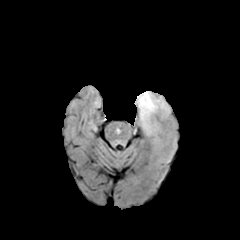
FLAIR MRI.
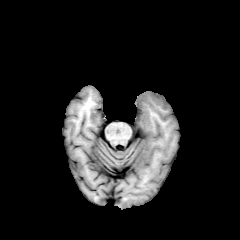
T1-weighted magnetic resonance of the same slice.
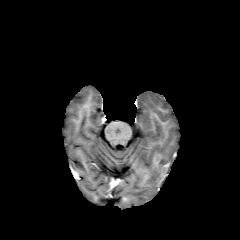
Post-contrast T1-weighted MRI.
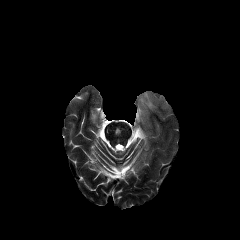
T2-weighted magnetic resonance.
Axial view.
The peritumoral edema is bounded by [137, 91, 169, 131].